FLAIR MR image.
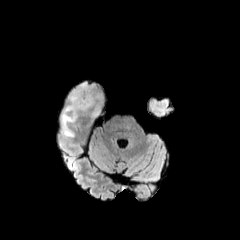
T1-weighted MR.
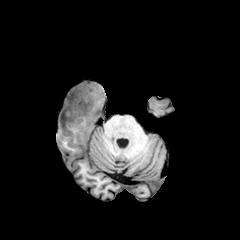
Post-contrast T1-weighted MR image.
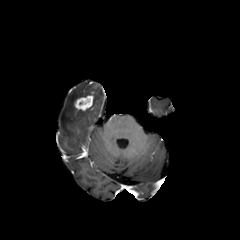
T2-weighted MRI.
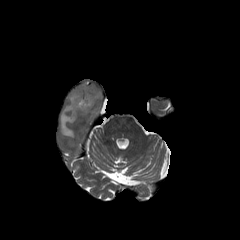
Head; Axial slice
The enhancing tumor is located at <bbox>74, 92, 93, 111</bbox>. The peritumoral edema is at <bbox>60, 82, 102, 137</bbox>.